FLAIR MR.
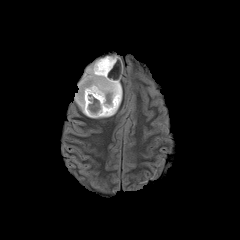
T1-weighted MRI.
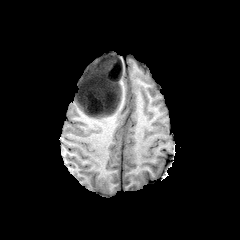
Post-contrast T1-weighted MRI.
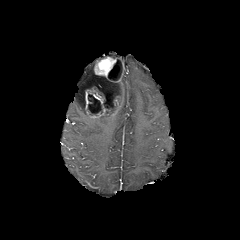
T2-weighted MRI.
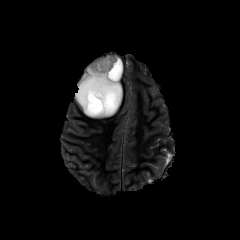
Head; Axial slice
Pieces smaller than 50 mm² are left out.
The 2 largest peritumoral edema regions appear at l=118, t=81, r=122, b=107; l=74, t=60, r=96, b=116. The 2 largest enhancing tumor regions are located at l=94, t=56, r=118, b=78; l=85, t=87, r=109, b=117. 2 necrotic tumor core regions appear at l=88, t=94, r=102, b=115; l=93, t=59, r=122, b=114.